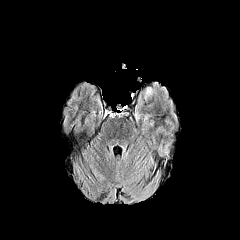
FLAIR MR.
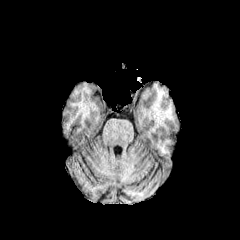
T1-weighted magnetic resonance.
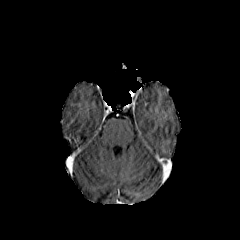
Same slice, post-contrast T1-weighted magnetic resonance.
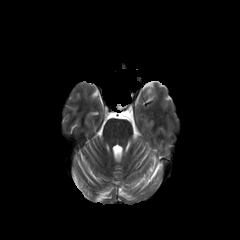
T2-weighted magnetic resonance.
Head. 240x240. Axial plane.
peritumoral edema — (left=146, top=86, right=152, bottom=95)